Axial slice, Image covers 240 mm x 240 mm, Head
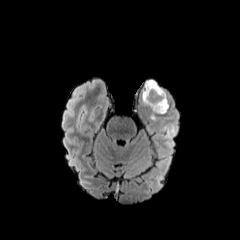
FLAIR MR.
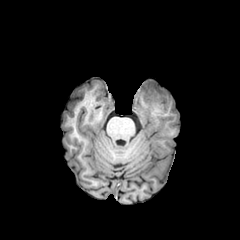
T1-weighted magnetic resonance.
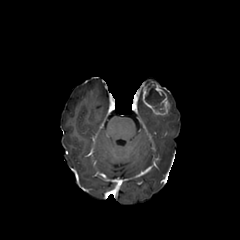
Post-contrast T1-weighted MR.
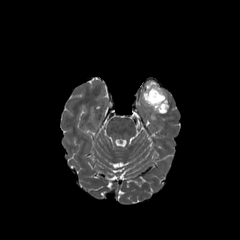
T2-weighted magnetic resonance of the same slice.
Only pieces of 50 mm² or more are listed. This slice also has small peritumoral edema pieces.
Findings:
- necrotic tumor core: [145,83,164,111]
- enhancing tumor: [142,81,169,114]